Axial plane
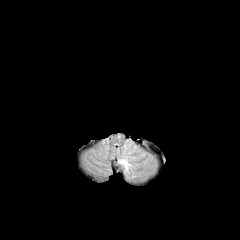
FLAIR MRI.
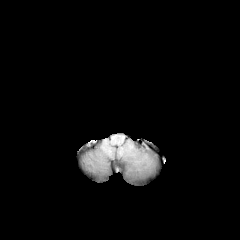
Same slice, T1-weighted MR image.
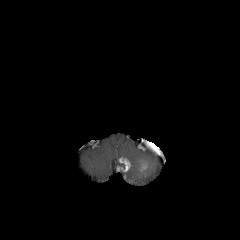
Post-contrast T1-weighted MR image.
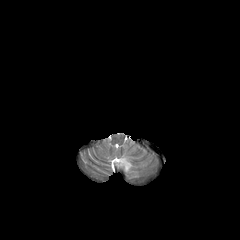
T2-weighted MRI of the same slice.
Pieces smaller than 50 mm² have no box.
peritumoral edema: [117, 140, 156, 180] | enhancing tumor: [118, 158, 130, 171]